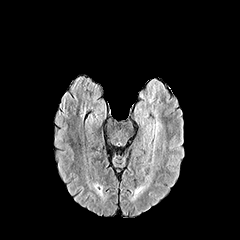
FLAIR MR image.
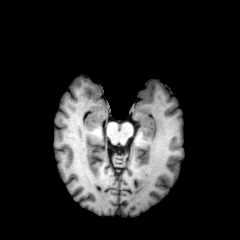
T1-weighted MRI.
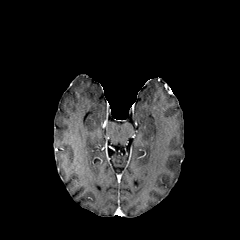
Same slice, post-contrast T1-weighted magnetic resonance.
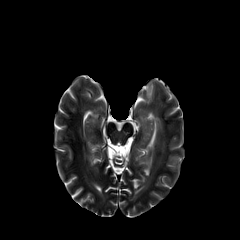
T2-weighted MR.
Head; 240x240 px
<segmentation>
  <peritumoral_edema>x1=153 y1=111 x2=161 y2=135</peritumoral_edema>
</segmentation>